FLAIR MRI.
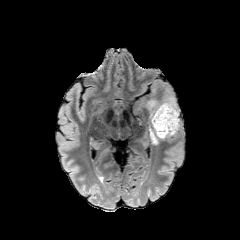
T1-weighted MR image.
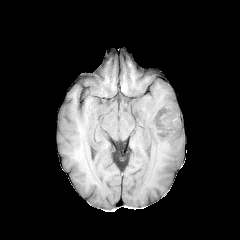
Post-contrast T1-weighted MRI.
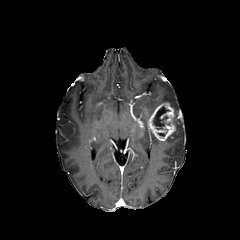
T2-weighted magnetic resonance.
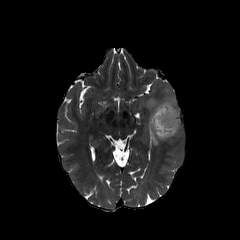
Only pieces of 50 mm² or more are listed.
<segmentation>
  <peritumoral_edema>[145,89,179,118], [148,129,161,144], [166,118,181,140]</peritumoral_edema>
  <enhancing_tumor>[148,102,180,141]</enhancing_tumor>
  <necrotic_tumor_core>[152,106,169,129]</necrotic_tumor_core>
</segmentation>